Head
FLAIR MRI.
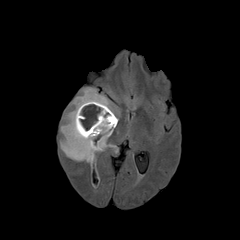
T1-weighted MR image.
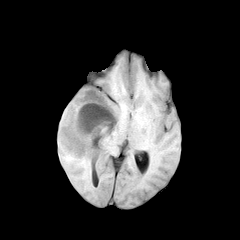
Post-contrast T1-weighted MR.
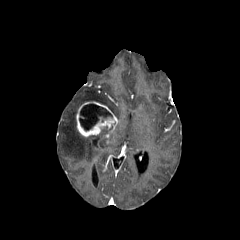
T2-weighted MRI.
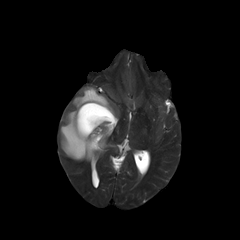
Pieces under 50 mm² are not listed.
The enhancing tumor is at <box>76,101,117,137</box>. The largest necrotic tumor core region is bounded by <box>79,104,112,130</box>. The largest peritumoral edema region lies within <box>60,87,118,161</box>.